FLAIR magnetic resonance.
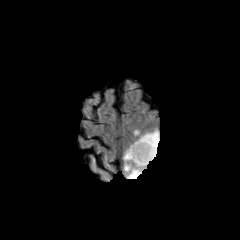
T1-weighted magnetic resonance.
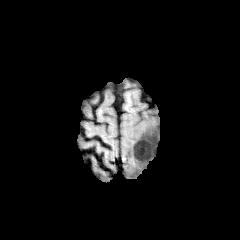
Post-contrast T1-weighted magnetic resonance.
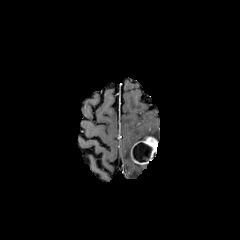
T2-weighted MR image.
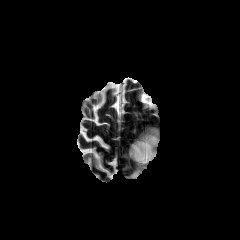
Image size 240x240.
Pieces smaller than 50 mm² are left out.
* enhancing tumor: [130,136,158,168]
* peritumoral edema: [125,163,143,178], [124,129,159,160]
* necrotic tumor core: [133,142,151,162]